FLAIR magnetic resonance.
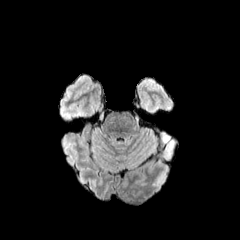
T1-weighted MR image.
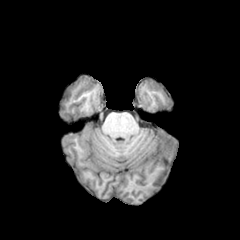
Post-contrast T1-weighted magnetic resonance.
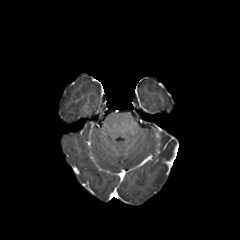
T2-weighted magnetic resonance.
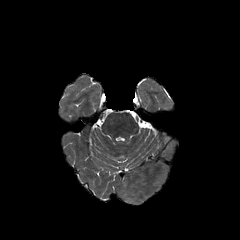
Brain
peritumoral edema: bounding box (left=163, top=133, right=172, bottom=145)